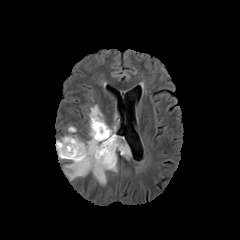
FLAIR MR.
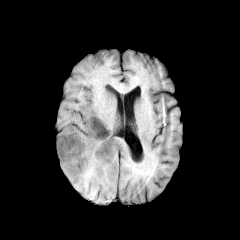
T1-weighted MR image.
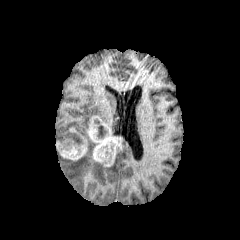
Post-contrast T1-weighted magnetic resonance.
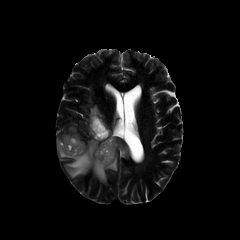
Same slice, T2-weighted MR image.
240x240 | Axial view
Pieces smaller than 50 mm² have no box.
The necrotic tumor core is at [x1=94, y1=119, x2=107, y2=138]. The 3 largest peritumoral edema regions are located at [x1=56, y1=134, x2=117, y2=184], [x1=88, y1=105, x2=105, y2=123], [x1=111, y1=126, x2=129, y2=158]. The 2 largest enhancing tumor regions are located at [x1=56, y1=138, x2=87, y2=160], [x1=87, y1=115, x2=121, y2=166].